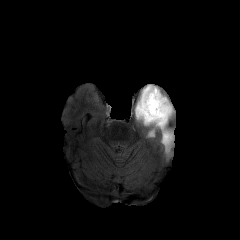
FLAIR MR image.
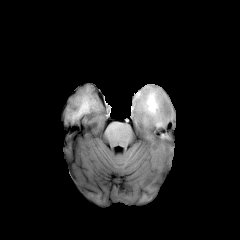
Same slice, T1-weighted magnetic resonance.
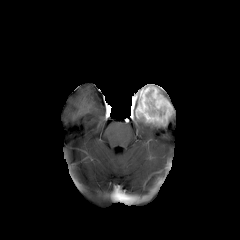
Post-contrast T1-weighted MRI.
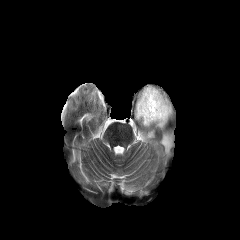
T2-weighted magnetic resonance.
Brain | Axial slice
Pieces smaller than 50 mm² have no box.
<segmentation>
  <peritumoral_edema><box>135,117,173,156</box></peritumoral_edema>
  <enhancing_tumor><box>135,84,174,126</box></enhancing_tumor>
</segmentation>